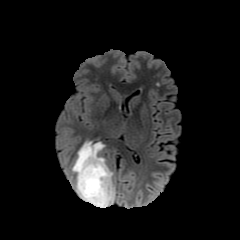
FLAIR magnetic resonance.
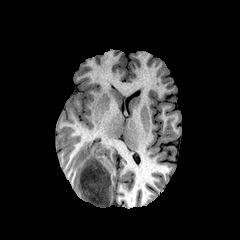
T1-weighted MR.
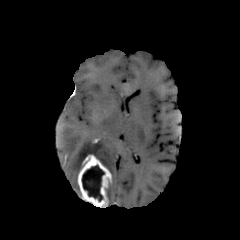
Post-contrast T1-weighted magnetic resonance of the same slice.
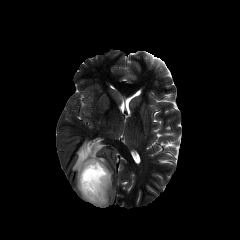
Same slice, T2-weighted magnetic resonance.
Brain; Image size 240x240
peritumoral edema at l=72, t=141, r=115, b=205
necrotic tumor core at l=82, t=165, r=104, b=201
enhancing tumor at l=78, t=154, r=111, b=207